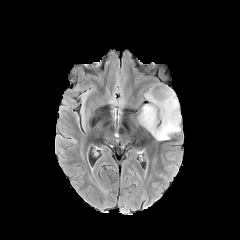
FLAIR MRI.
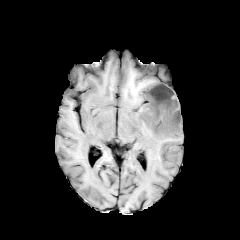
T1-weighted magnetic resonance.
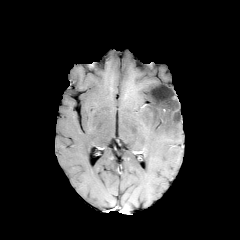
Post-contrast T1-weighted MR image of the same slice.
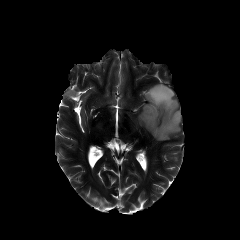
T2-weighted MR.
Axial plane; Head
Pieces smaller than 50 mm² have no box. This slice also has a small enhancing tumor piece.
The necrotic tumor core is at region(150, 85, 175, 109). The largest peritumoral edema region appears at region(138, 84, 181, 140).